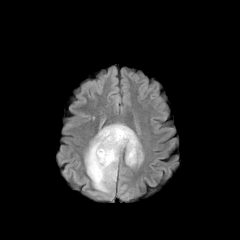
FLAIR MRI.
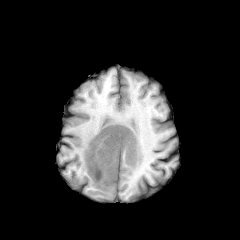
Same slice, T1-weighted MRI.
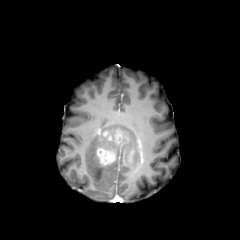
Post-contrast T1-weighted MR of the same slice.
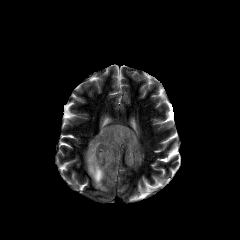
T2-weighted MR image.
Axial plane; Brain
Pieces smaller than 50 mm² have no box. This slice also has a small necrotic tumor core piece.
peritumoral edema: bounding box <box>85,123,143,192</box>
enhancing tumor: bounding box <box>97,148,115,165</box>, <box>114,130,122,144</box>